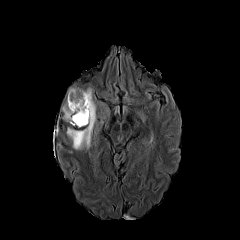
FLAIR MR image.
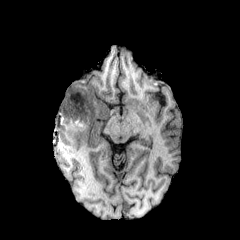
T1-weighted magnetic resonance.
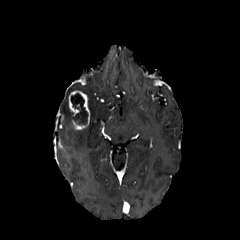
Post-contrast T1-weighted MR.
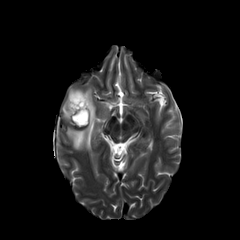
T2-weighted MRI.
Head. Axial view.
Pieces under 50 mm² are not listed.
The necrotic tumor core is at l=71, t=93, r=87, b=125. The largest enhancing tumor region is at l=68, t=90, r=90, b=129. 2 peritumoral edema regions are bounded by l=66, t=87, r=96, b=149; l=61, t=98, r=72, b=124.